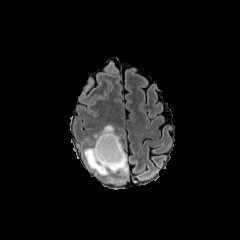
FLAIR MRI.
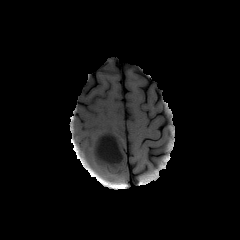
T1-weighted MR.
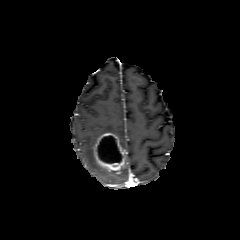
Post-contrast T1-weighted MRI.
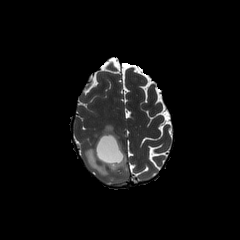
Same slice, T2-weighted MRI.
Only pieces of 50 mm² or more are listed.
The necrotic tumor core lies within 97,136,122,163. The enhancing tumor lies within 93,132,126,173. The 3 largest peritumoral edema regions are bounded by 93,124,115,144; 119,165,128,173; 84,147,116,175.